FLAIR MR image.
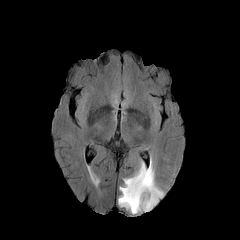
T1-weighted MR.
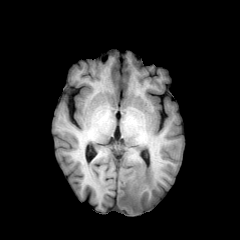
Post-contrast T1-weighted MR image.
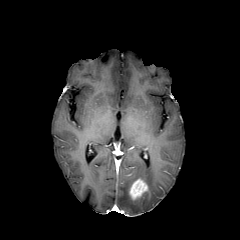
T2-weighted MR image.
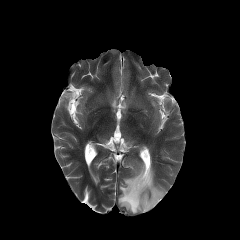
The peritumoral edema is bounded by 118,160,164,213. The enhancing tumor appears at 129,178,148,201.